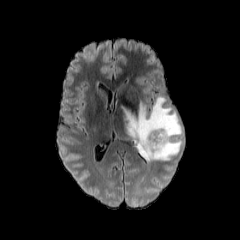
FLAIR MR image.
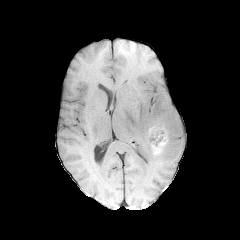
T1-weighted MRI of the same slice.
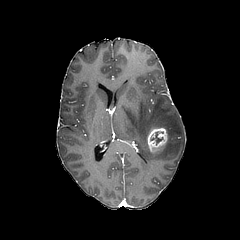
Same slice, post-contrast T1-weighted MR.
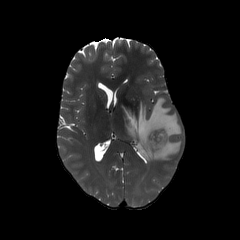
Same slice, T2-weighted magnetic resonance.
Brain.
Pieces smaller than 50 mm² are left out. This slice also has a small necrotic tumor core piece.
enhancing tumor: bounding box bbox(146, 127, 167, 152)
peritumoral edema: bounding box bbox(124, 96, 182, 161)